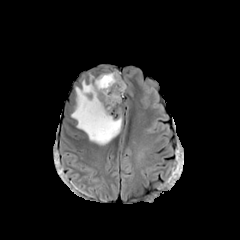
FLAIR MR.
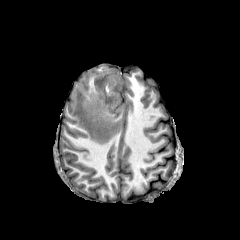
T1-weighted MR image of the same slice.
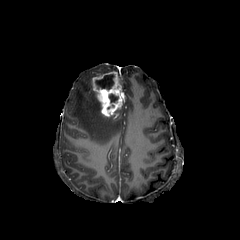
Post-contrast T1-weighted MR.
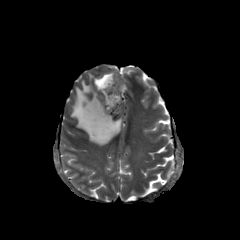
T2-weighted magnetic resonance.
Brain; Axial view
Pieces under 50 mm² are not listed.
The 2 largest necrotic tumor core regions appear at bbox=[109, 94, 118, 103]; bbox=[95, 74, 114, 90]. The enhancing tumor is at bbox=[93, 71, 124, 116]. The largest peritumoral edema region lies within bbox=[71, 73, 122, 145].